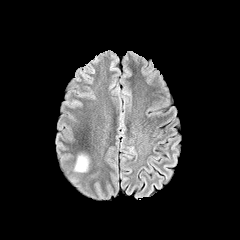
FLAIR magnetic resonance.
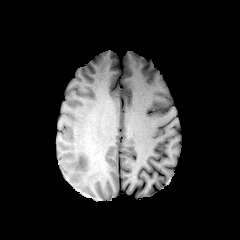
T1-weighted MRI of the same slice.
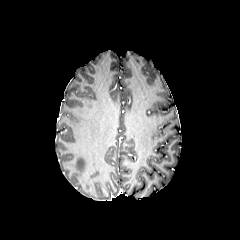
Post-contrast T1-weighted MRI of the same slice.
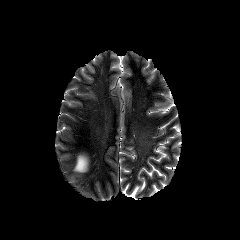
T2-weighted MR image of the same slice.
Axial plane. Head.
peritumoral edema at bbox(75, 155, 88, 171)